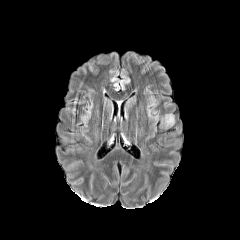
FLAIR MR image.
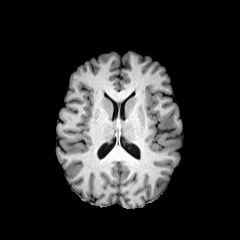
T1-weighted magnetic resonance of the same slice.
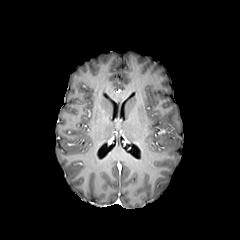
Post-contrast T1-weighted MR of the same slice.
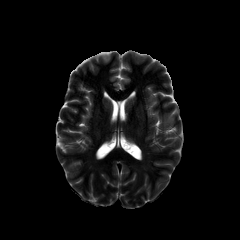
T2-weighted magnetic resonance.
240x240 px; Head; Axial slice
peritumoral_edema:
  - [166, 114, 174, 123]